FLAIR MR image.
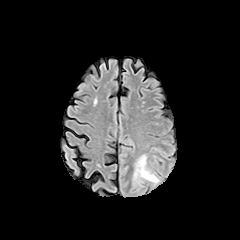
T1-weighted MR.
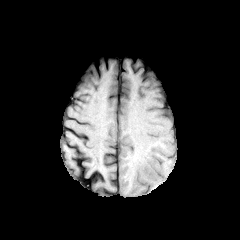
Post-contrast T1-weighted MR.
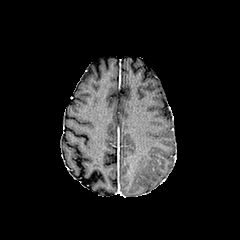
T2-weighted magnetic resonance.
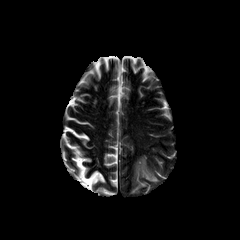
The peritumoral edema is at <bbox>134, 156, 158, 182</bbox>.